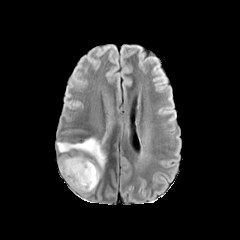
FLAIR magnetic resonance.
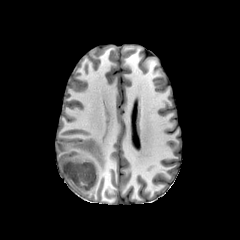
Same slice, T1-weighted MR.
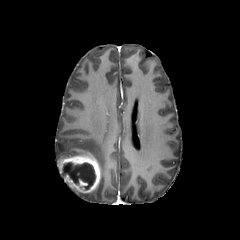
Post-contrast T1-weighted MR.
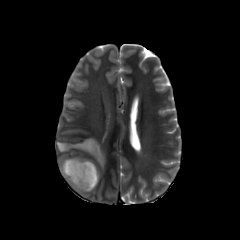
T2-weighted MRI of the same slice.
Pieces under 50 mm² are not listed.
enhancing tumor = (left=58, top=153, right=100, bottom=192)
peritumoral edema = (left=56, top=137, right=105, bottom=170)
necrotic tumor core = (left=62, top=162, right=95, bottom=189)